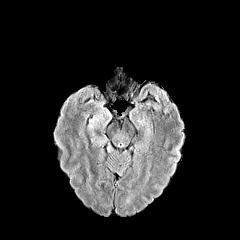
FLAIR MR.
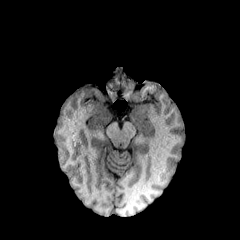
T1-weighted magnetic resonance.
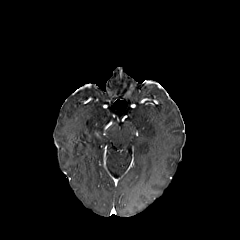
Post-contrast T1-weighted MR image.
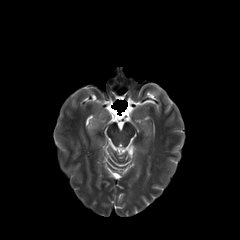
T2-weighted MRI.
Image size 240x240; Brain
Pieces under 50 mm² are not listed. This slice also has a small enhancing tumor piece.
2 peritumoral edema regions appear at [x1=88, y1=114, x2=111, y2=152], [x1=99, y1=149, x2=105, y2=161].